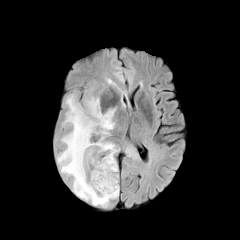
FLAIR magnetic resonance.
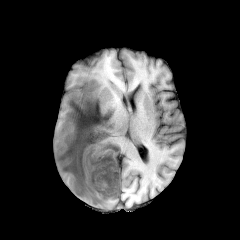
T1-weighted MR.
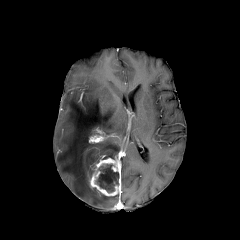
Post-contrast T1-weighted MRI.
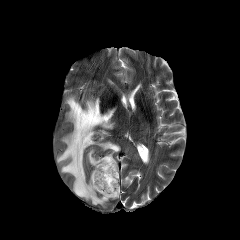
T2-weighted MR of the same slice.
Image size 240x240, Axial slice, Brain
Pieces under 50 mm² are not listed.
The enhancing tumor is at <box>89,156,120,196</box>. The necrotic tumor core appears at <box>97,164,118,191</box>. The largest peritumoral edema region is bounded by <box>57,94,119,207</box>.